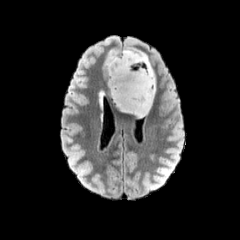
FLAIR magnetic resonance.
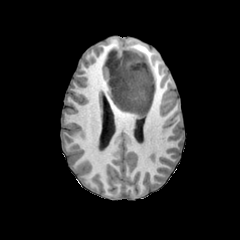
Same slice, T1-weighted MRI.
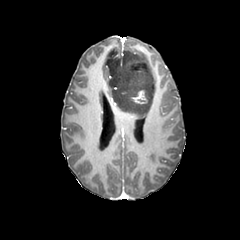
Post-contrast T1-weighted MR image.
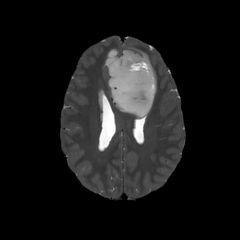
T2-weighted MR image.
Head.
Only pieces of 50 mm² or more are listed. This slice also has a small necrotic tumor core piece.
enhancing tumor = <bbox>131, 90, 147, 103</bbox>
peritumoral edema = <bbox>105, 47, 155, 117</bbox>